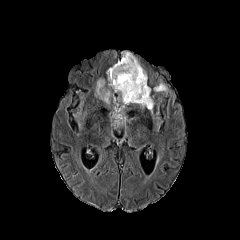
FLAIR magnetic resonance.
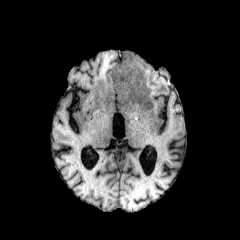
Same slice, T1-weighted MRI.
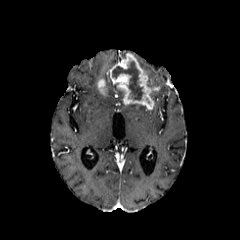
Post-contrast T1-weighted magnetic resonance of the same slice.
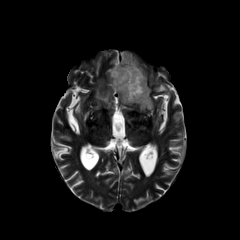
T2-weighted magnetic resonance.
Axial plane | 240x240 px
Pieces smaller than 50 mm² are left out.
peritumoral_edema:
  - (155,83,167,91)
  - (108,77,123,102)
  - (95,87,111,104)
necrotic_tumor_core:
  - (112,61,143,100)
enhancing_tumor:
  - (107,52,160,109)
  - (97,79,106,96)